FLAIR MR.
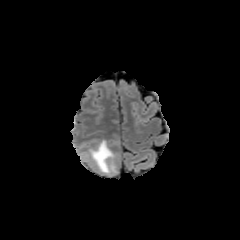
T1-weighted MRI.
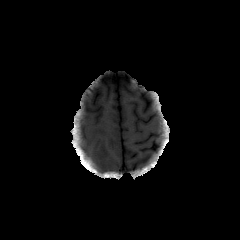
Post-contrast T1-weighted MR image.
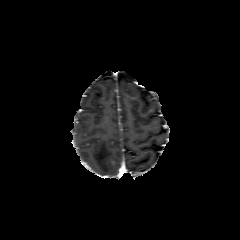
T2-weighted magnetic resonance.
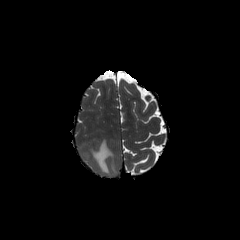
Head, Axial view
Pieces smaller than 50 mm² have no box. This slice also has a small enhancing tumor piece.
The peritumoral edema is bounded by rect(89, 139, 116, 175).